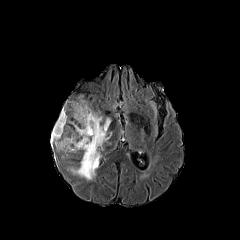
FLAIR MR.
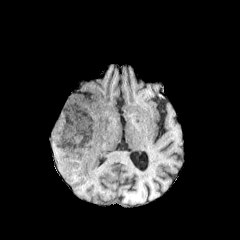
T1-weighted MRI.
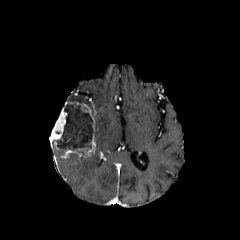
Post-contrast T1-weighted magnetic resonance of the same slice.
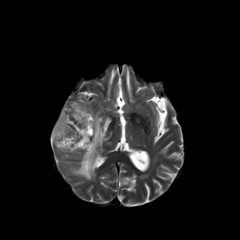
T2-weighted MR image.
Brain
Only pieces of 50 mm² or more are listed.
<segmentation>
  <enhancing_tumor>box=[49, 106, 67, 150]; box=[76, 102, 94, 130]; box=[64, 134, 95, 158]</enhancing_tumor>
  <necrotic_tumor_core>box=[57, 102, 95, 150]</necrotic_tumor_core>
  <peritumoral_edema>box=[73, 114, 110, 180]</peritumoral_edema>
</segmentation>